Image size 240x240
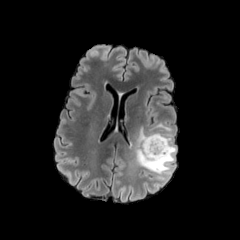
FLAIR magnetic resonance.
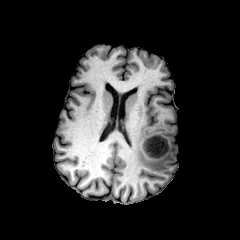
T1-weighted magnetic resonance of the same slice.
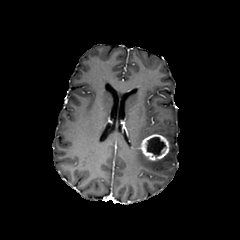
Post-contrast T1-weighted MRI of the same slice.
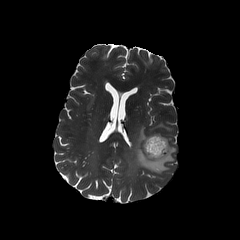
T2-weighted magnetic resonance.
<segmentation>
  <enhancing_tumor>(140,134,169,160)</enhancing_tumor>
  <necrotic_tumor_core>(146,136,165,156)</necrotic_tumor_core>
  <peritumoral_edema>(135,121,176,174)</peritumoral_edema>
</segmentation>